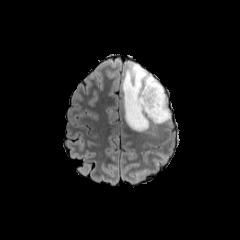
FLAIR MRI.
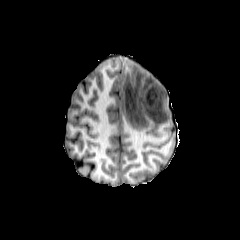
T1-weighted MRI.
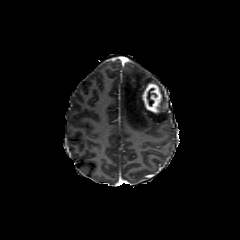
Post-contrast T1-weighted MRI.
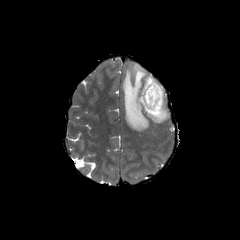
T2-weighted MRI.
240x240 px; Axial view
peritumoral_edema:
  - (left=121, top=63, right=170, bottom=131)
enhancing_tumor:
  - (left=141, top=82, right=162, bottom=113)
necrotic_tumor_core:
  - (left=147, top=88, right=156, bottom=106)